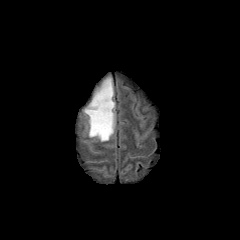
FLAIR MRI.
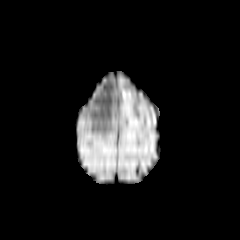
Same slice, T1-weighted MRI.
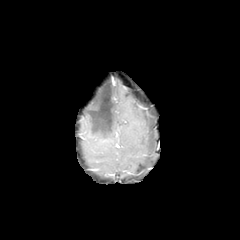
Post-contrast T1-weighted MRI.
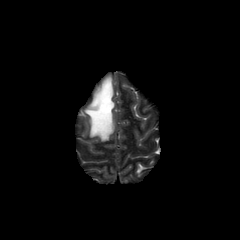
T2-weighted MR.
Head; 240x240
The peritumoral edema appears at l=84, t=76, r=115, b=141.